FLAIR MR.
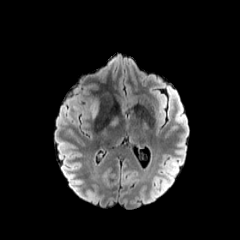
T1-weighted magnetic resonance.
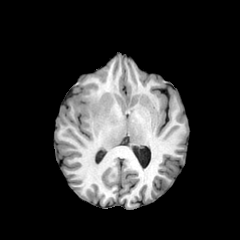
Post-contrast T1-weighted magnetic resonance.
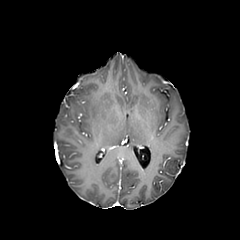
T2-weighted magnetic resonance.
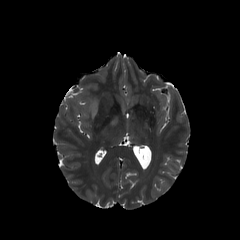
Axial plane
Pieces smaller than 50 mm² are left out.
{
  "peritumoral_edema": [
    "(91,98,99,118)"
  ]
}